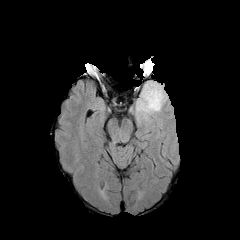
FLAIR MR image.
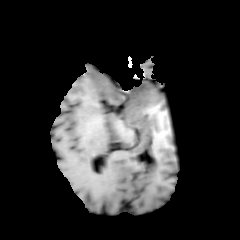
T1-weighted magnetic resonance.
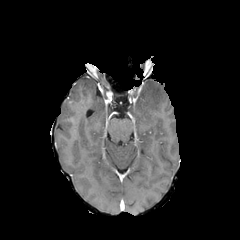
Post-contrast T1-weighted MR image.
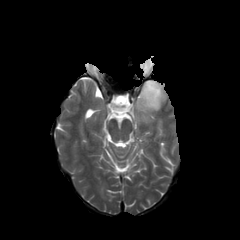
Same slice, T2-weighted MRI.
Brain.
<segmentation>
  <peritumoral_edema>(133, 81, 167, 124)</peritumoral_edema>
</segmentation>